Head; Axial plane
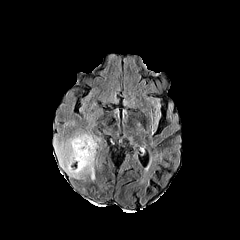
FLAIR MR.
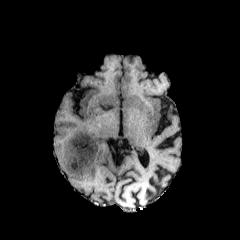
T1-weighted MR of the same slice.
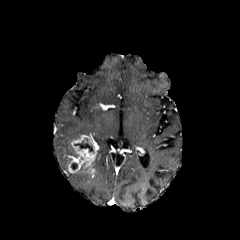
Post-contrast T1-weighted magnetic resonance.
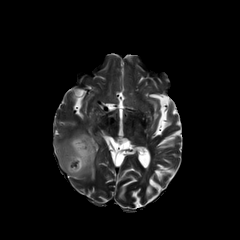
T2-weighted MR of the same slice.
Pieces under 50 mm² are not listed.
<segmentation>
  <necrotic_tumor_core>region(73, 138, 92, 151); region(70, 162, 79, 172)</necrotic_tumor_core>
  <enhancing_tumor>region(67, 135, 96, 175)</enhancing_tumor>
  <peritumoral_edema>region(55, 133, 95, 180)</peritumoral_edema>
</segmentation>